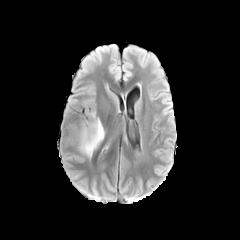
FLAIR magnetic resonance.
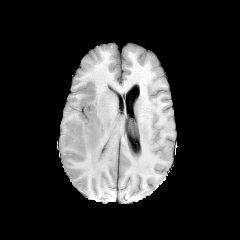
Same slice, T1-weighted MRI.
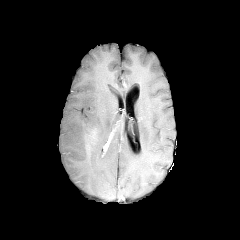
Post-contrast T1-weighted MRI of the same slice.
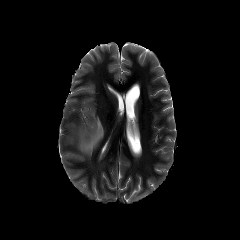
T2-weighted MR image.
Brain. Image size 240x240.
<segmentation>
  <peritumoral_edema>[79,112,104,157]</peritumoral_edema>
  <enhancing_tumor>[86,128,97,150]</enhancing_tumor>
</segmentation>